FLAIR MR image.
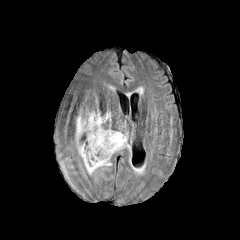
T1-weighted MR.
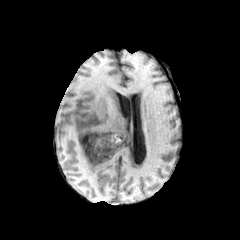
Post-contrast T1-weighted MRI.
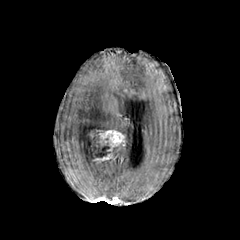
T2-weighted MR.
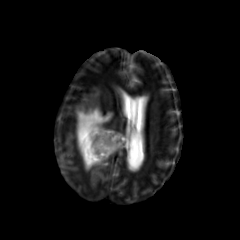
Axial slice | Head | Image size 240x240
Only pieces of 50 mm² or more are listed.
{"enhancing_tumor": ["x1=92, y1=130, x2=126, y2=163"], "peritumoral_edema": ["x1=76, y1=109, x2=110, y2=173", "x1=113, y1=134, x2=130, y2=152"], "necrotic_tumor_core": ["x1=86, y1=141, x2=110, y2=160"]}